Image size 240x240; Brain; Axial plane
FLAIR MRI.
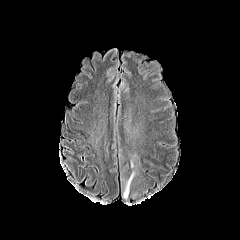
T1-weighted magnetic resonance.
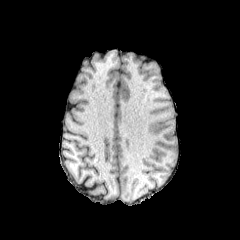
Post-contrast T1-weighted magnetic resonance.
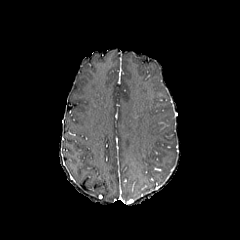
T2-weighted MR.
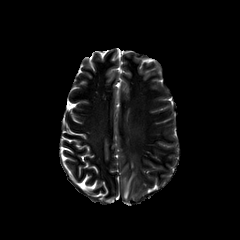
peritumoral edema: bounding box 123, 173, 134, 198